FLAIR MR.
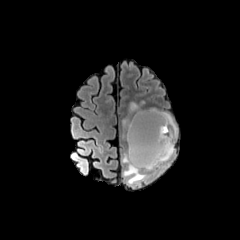
T1-weighted MR.
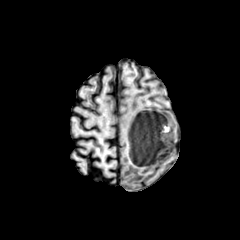
Post-contrast T1-weighted MR.
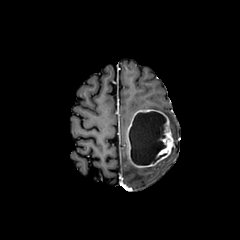
T2-weighted MRI.
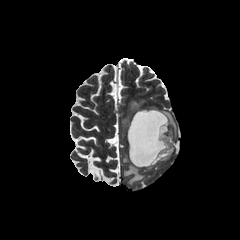
Axial slice; Head
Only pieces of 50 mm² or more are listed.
The enhancing tumor lies within 126,109,174,167. The 3 largest peritumoral edema regions are bounded by 122,148,174,186; 161,111,177,144; 122,101,143,139. The necrotic tumor core is bounded by 129,111,168,165.